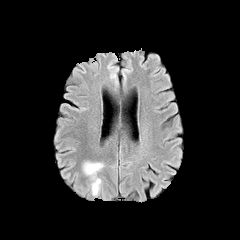
FLAIR MRI.
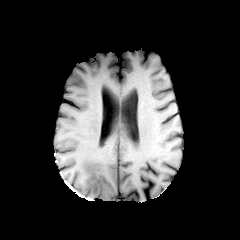
Same slice, T1-weighted MR.
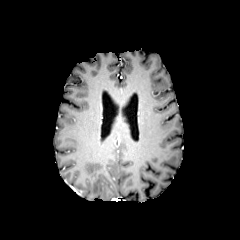
Post-contrast T1-weighted MR.
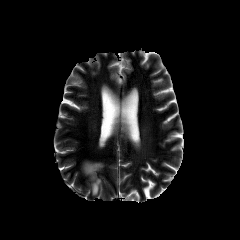
T2-weighted MR image of the same slice.
Head | Image size 240x240
peritumoral edema: (83, 162, 103, 195)